FLAIR MR image.
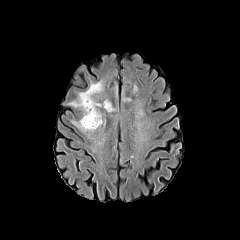
T1-weighted magnetic resonance.
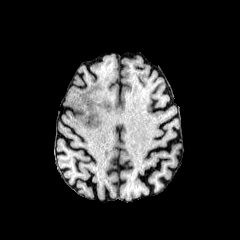
Post-contrast T1-weighted MRI.
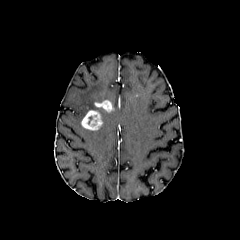
T2-weighted MRI.
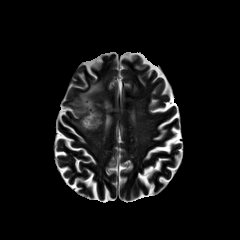
Axial plane | 240x240 | Brain
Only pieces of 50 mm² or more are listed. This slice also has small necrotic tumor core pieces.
The 2 largest peritumoral edema regions are bounded by region(69, 81, 102, 117); region(72, 119, 94, 132). 2 enhancing tumor regions appear at region(94, 100, 113, 112); region(81, 110, 102, 130).